Axial plane; Head; Image width 240 mm
FLAIR magnetic resonance.
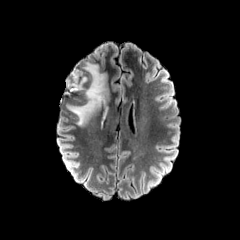
T1-weighted MRI.
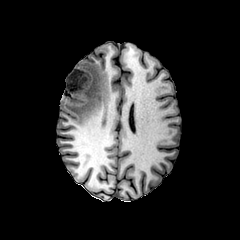
Post-contrast T1-weighted magnetic resonance.
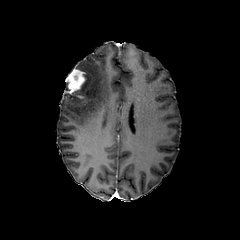
T2-weighted MRI.
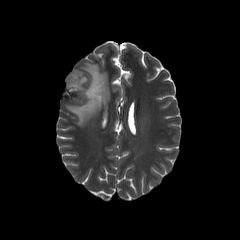
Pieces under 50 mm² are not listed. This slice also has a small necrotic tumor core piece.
{"enhancing_tumor": ["65,68,86,93"], "peritumoral_edema": ["67,63,108,125"]}